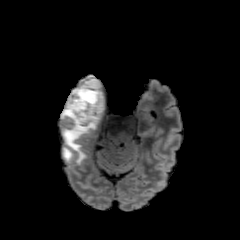
FLAIR MR.
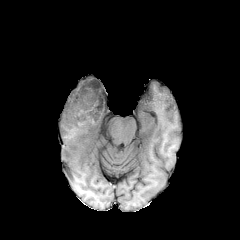
T1-weighted magnetic resonance of the same slice.
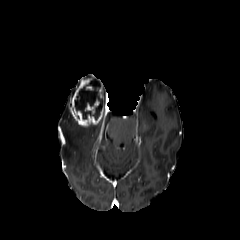
Post-contrast T1-weighted MR of the same slice.
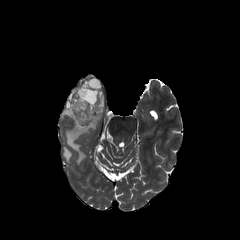
T2-weighted MR of the same slice.
Axial slice | 240x240 px | Brain
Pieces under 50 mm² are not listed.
The necrotic tumor core lies within rect(74, 79, 102, 119). The largest enhancing tumor region appears at rect(67, 75, 105, 126). The 2 largest peritumoral edema regions appear at rect(61, 86, 112, 164); rect(63, 147, 73, 162).